Image width 240 mm | Slice 119 of 155
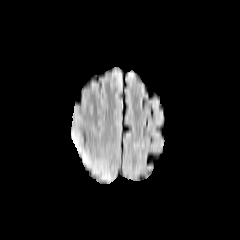
FLAIR MR.
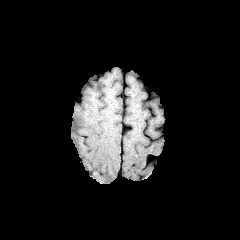
T1-weighted MR.
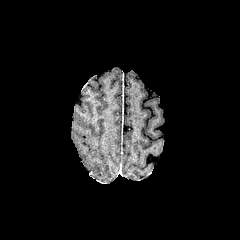
Post-contrast T1-weighted MR image of the same slice.
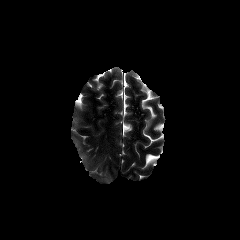
Same slice, T2-weighted MRI.
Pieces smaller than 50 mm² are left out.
peritumoral edema = {"x1": 72, "y1": 132, "x2": 90, "y2": 164}, {"x1": 102, "y1": 172, "x2": 110, "y2": 179}